Head. Slice 94/155.
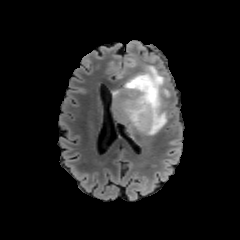
FLAIR MRI.
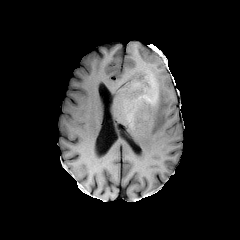
T1-weighted MRI.
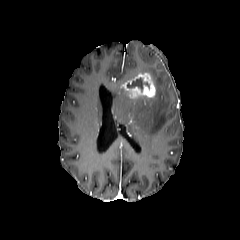
Post-contrast T1-weighted MR image of the same slice.
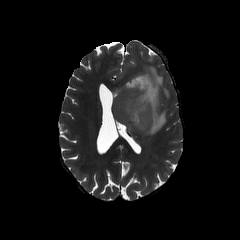
T2-weighted MR.
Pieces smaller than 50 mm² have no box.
Annotated regions:
* enhancing tumor: (123,73,156,99)
* peritumoral edema: (113,65,169,134)
* necrotic tumor core: (127,78,148,90)